Slice index 59. Axial plane. Head.
FLAIR MR image.
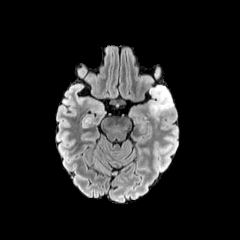
T1-weighted MRI.
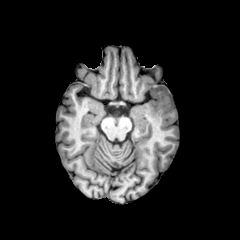
Post-contrast T1-weighted MR.
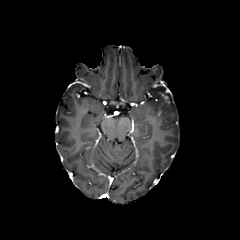
T2-weighted MRI.
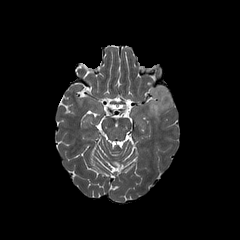
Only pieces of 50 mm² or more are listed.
peritumoral edema — [148,85,173,119]
enhancing tumor — [158,89,172,107]